Axial view. Head.
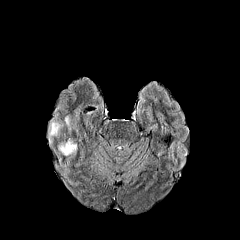
FLAIR MR image.
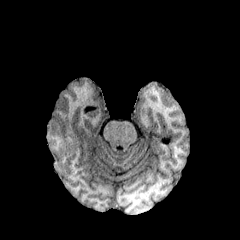
T1-weighted MR of the same slice.
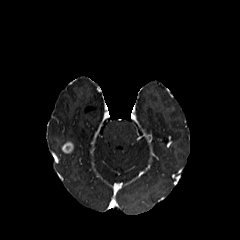
Post-contrast T1-weighted MR image of the same slice.
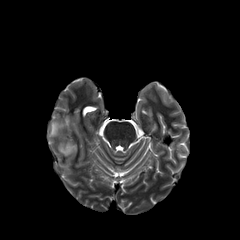
Same slice, T2-weighted MR.
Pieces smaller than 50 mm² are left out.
peritumoral edema = <box>58,143,76,155</box>, <box>49,120,62,137</box>, <box>64,116,70,131</box>
enhancing tumor = <box>62,140,73,153</box>